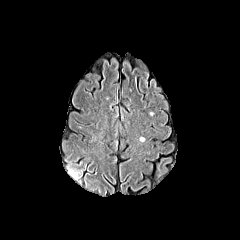
FLAIR MR image.
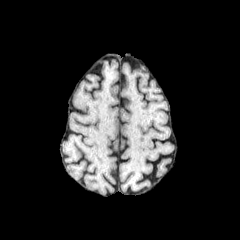
T1-weighted magnetic resonance of the same slice.
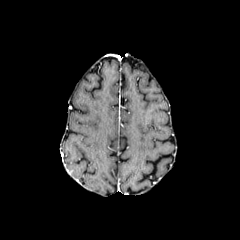
Post-contrast T1-weighted MRI.
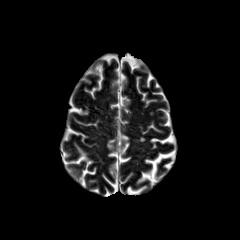
T2-weighted MRI of the same slice.
240x240 px
peritumoral edema at region(67, 167, 80, 178)